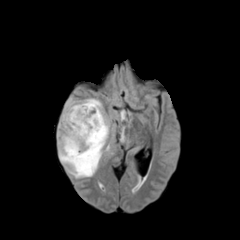
FLAIR magnetic resonance.
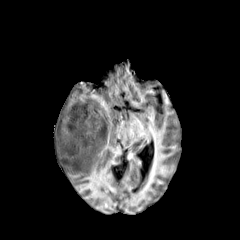
T1-weighted magnetic resonance of the same slice.
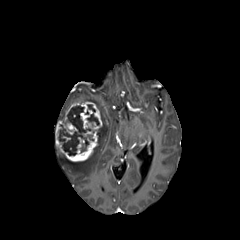
Post-contrast T1-weighted MR.
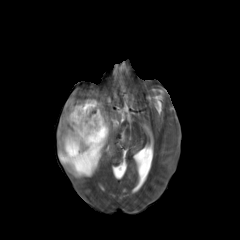
Same slice, T2-weighted MRI.
Axial slice. Brain.
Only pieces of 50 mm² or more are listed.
{
  "peritumoral_edema": [
    "(x1=82, y1=98, x2=103, y2=116)",
    "(x1=58, y1=120, x2=109, y2=178)",
    "(x1=64, y1=97, x2=75, y2=107)"
  ],
  "necrotic_tumor_core": [
    "(x1=59, y1=106, x2=91, y2=155)",
    "(x1=87, y1=104, x2=99, y2=125)"
  ],
  "enhancing_tumor": [
    "(x1=56, y1=101, x2=102, y2=161)"
  ]
}